FLAIR MR.
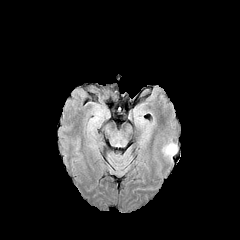
T1-weighted MR.
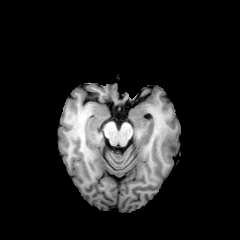
Post-contrast T1-weighted MR.
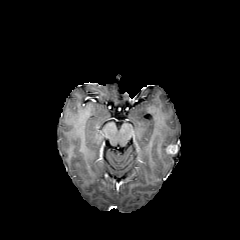
T2-weighted MR image.
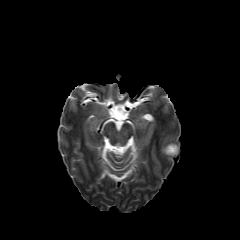
240x240 px | Head
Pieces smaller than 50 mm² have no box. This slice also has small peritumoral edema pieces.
enhancing tumor: [166,144,177,154]